Axial view
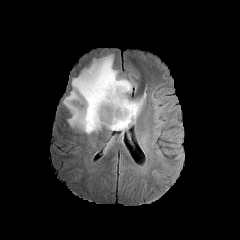
FLAIR MRI.
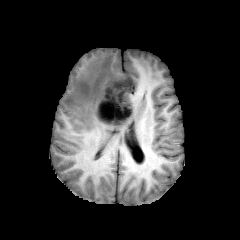
T1-weighted MR image.
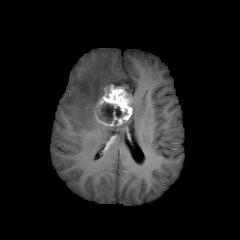
Post-contrast T1-weighted magnetic resonance.
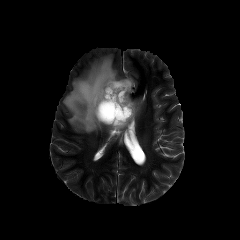
T2-weighted MR image.
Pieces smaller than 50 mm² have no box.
necrotic tumor core: bounding box x1=99, y1=104, x2=121, y2=122
peritumoral edema: bounding box x1=106, y1=97, x2=144, y2=135; x1=63, y1=54, x2=134, y2=133
enhancing tumor: bounding box x1=94, y1=84, x2=132, y2=126